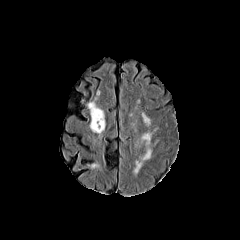
FLAIR magnetic resonance.
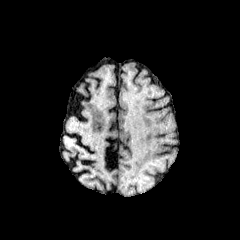
T1-weighted MR image of the same slice.
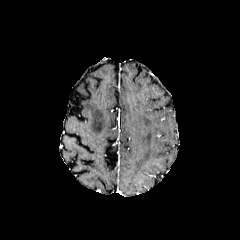
Post-contrast T1-weighted MR of the same slice.
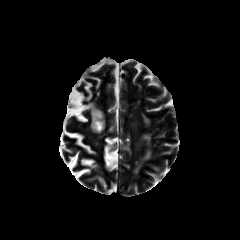
T2-weighted MRI of the same slice.
Brain | 240x240 | Axial view
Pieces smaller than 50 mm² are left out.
- peritumoral edema: rect(134, 148, 151, 173); rect(142, 133, 150, 143)